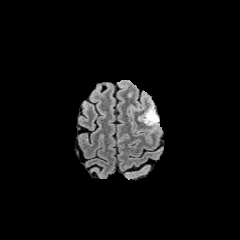
FLAIR magnetic resonance.
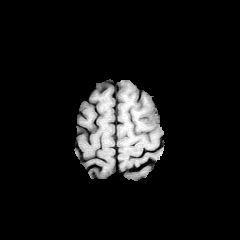
T1-weighted MR.
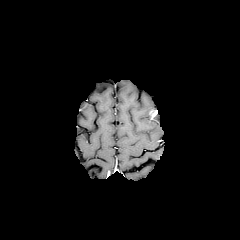
Post-contrast T1-weighted magnetic resonance.
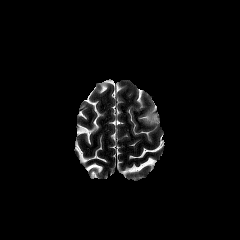
T2-weighted MR image.
Axial view
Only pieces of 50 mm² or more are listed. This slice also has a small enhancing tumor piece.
peritumoral edema: [138,98,159,130]